FLAIR MRI.
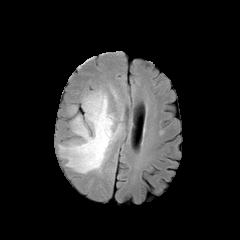
T1-weighted MR image.
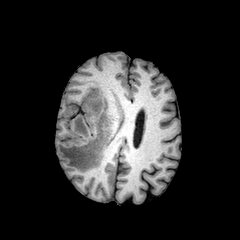
Post-contrast T1-weighted magnetic resonance.
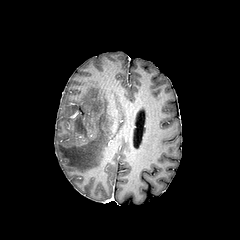
T2-weighted MR.
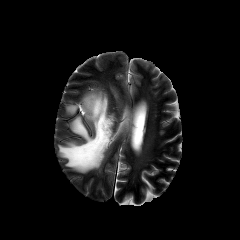
Axial view, Brain
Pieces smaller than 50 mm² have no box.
peritumoral edema: region(58, 89, 121, 173); region(67, 105, 76, 114)